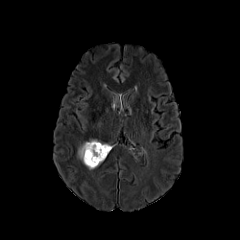
FLAIR MR image.
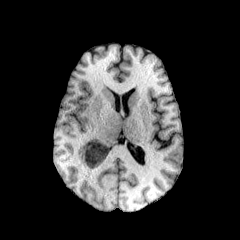
T1-weighted MR image of the same slice.
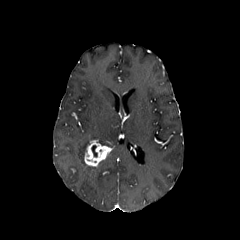
Post-contrast T1-weighted MR image.
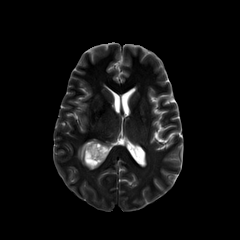
T2-weighted MR.
240x240.
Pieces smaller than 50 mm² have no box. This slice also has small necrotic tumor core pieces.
{
  "enhancing_tumor": [
    "region(84, 140, 111, 166)"
  ],
  "peritumoral_edema": [
    "region(77, 141, 96, 169)"
  ]
}